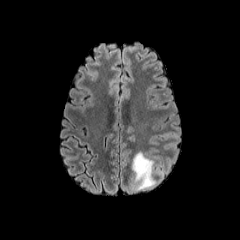
FLAIR MR image.
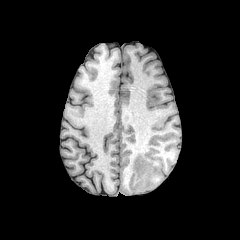
Same slice, T1-weighted MR.
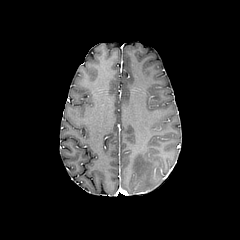
Post-contrast T1-weighted magnetic resonance of the same slice.
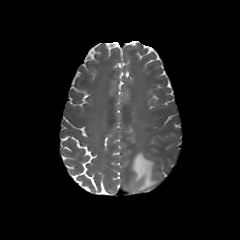
T2-weighted MR.
The peritumoral edema is bounded by <bbox>132, 152, 156, 190</bbox>.